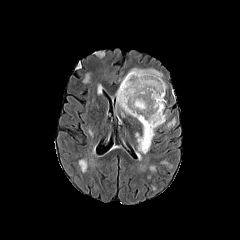
FLAIR MR.
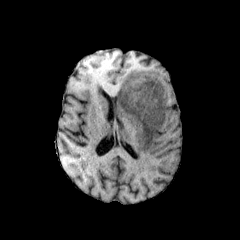
T1-weighted MRI of the same slice.
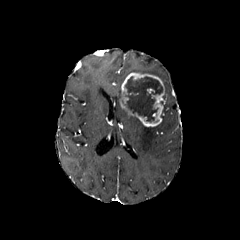
Post-contrast T1-weighted MRI.
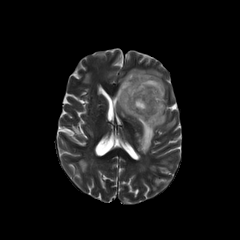
T2-weighted MR image of the same slice.
Axial slice
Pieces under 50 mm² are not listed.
<segmentation>
  <necrotic_tumor_core>rect(125, 77, 162, 121)</necrotic_tumor_core>
  <enhancing_tumor>rect(119, 72, 165, 126)</enhancing_tumor>
  <peritumoral_edema>rect(116, 68, 163, 116); rect(135, 124, 159, 153); rect(165, 119, 175, 128)</peritumoral_edema>
</segmentation>